Brain; Slice 98 of 155; Image size 240x240
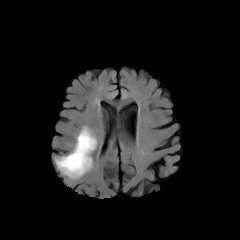
FLAIR MR image.
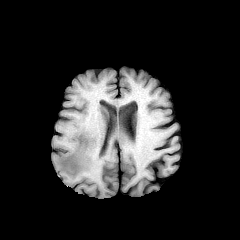
T1-weighted magnetic resonance.
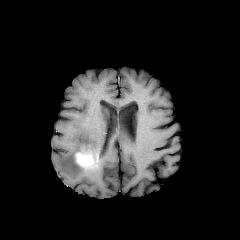
Same slice, post-contrast T1-weighted MRI.
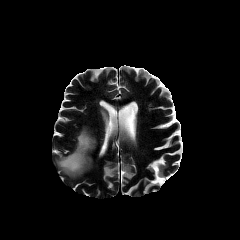
T2-weighted MRI.
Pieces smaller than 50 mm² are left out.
{"peritumoral_edema": ["(left=55, top=127, right=97, bottom=178)"], "enhancing_tumor": ["(left=75, top=152, right=93, bottom=168)"]}